Axial view | 240x240 px
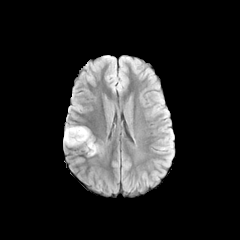
FLAIR magnetic resonance.
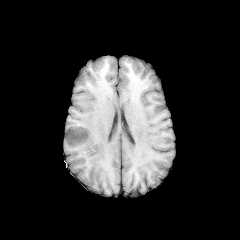
T1-weighted magnetic resonance.
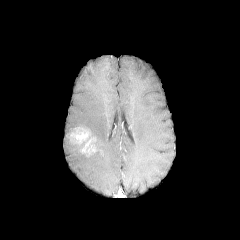
Post-contrast T1-weighted MRI of the same slice.
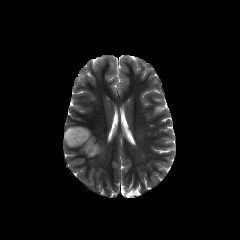
T2-weighted MRI of the same slice.
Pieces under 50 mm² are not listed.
peritumoral_edema:
  - [64, 126, 84, 147]
  - [89, 142, 101, 156]
enhancing_tumor:
  - [67, 127, 98, 155]